240x240 px | Axial view | Head
FLAIR magnetic resonance.
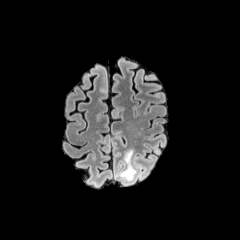
T1-weighted MRI.
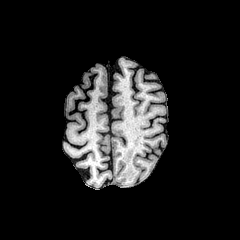
Post-contrast T1-weighted MR.
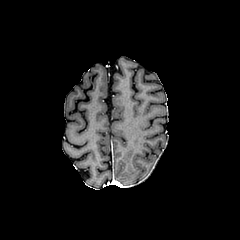
T2-weighted MRI.
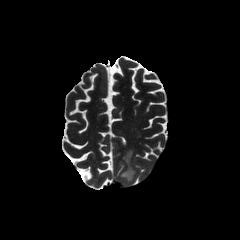
- peritumoral edema: box=[119, 151, 135, 181]